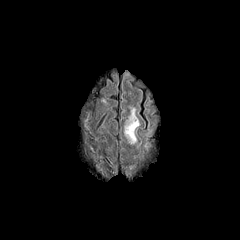
FLAIR MR.
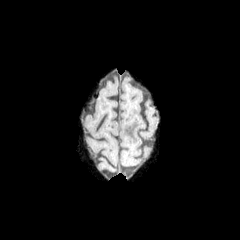
Same slice, T1-weighted MR.
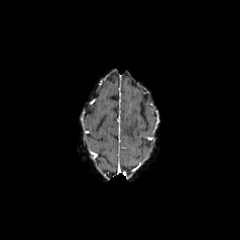
Post-contrast T1-weighted magnetic resonance of the same slice.
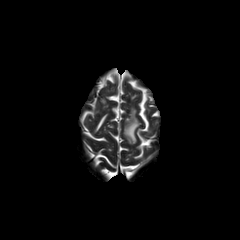
Same slice, T2-weighted MR image.
Brain. Axial plane.
peritumoral edema: [x1=124, y1=108, x2=139, y2=144]